FLAIR MR.
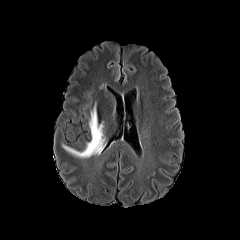
T1-weighted magnetic resonance.
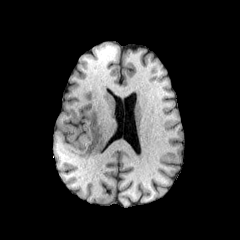
Post-contrast T1-weighted magnetic resonance.
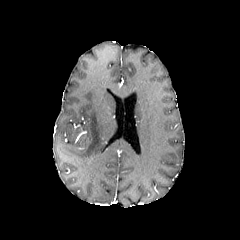
T2-weighted MRI.
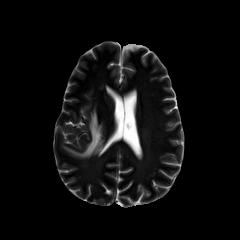
Brain
<segmentation>
  <peritumoral_edema>bbox=[62, 103, 104, 158]</peritumoral_edema>
</segmentation>